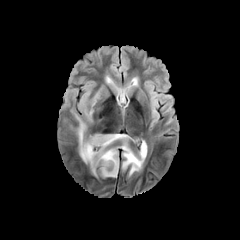
FLAIR magnetic resonance.
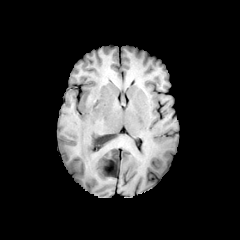
T1-weighted magnetic resonance.
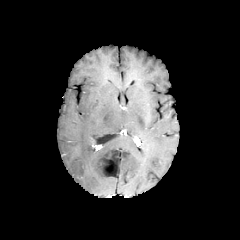
Same slice, post-contrast T1-weighted magnetic resonance.
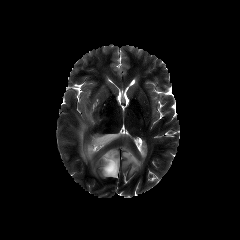
T2-weighted MRI.
Axial slice. Head. 240x240 px.
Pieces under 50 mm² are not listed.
- necrotic tumor core: 91:134:114:144, 103:151:118:176
- peritumoral edema: 85:108:93:122, 122:140:147:174, 77:118:128:177